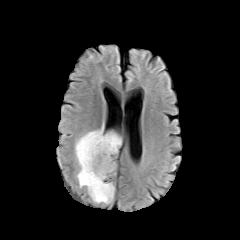
FLAIR MR.
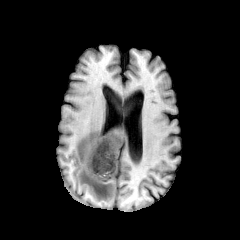
T1-weighted MRI.
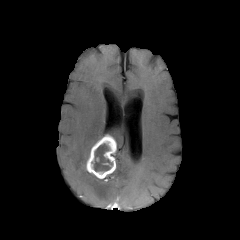
Post-contrast T1-weighted MR.
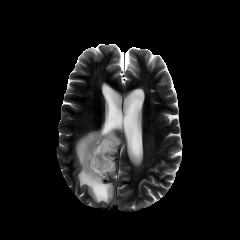
T2-weighted MR image.
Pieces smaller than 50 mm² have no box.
enhancing tumor: <box>86,134,116,178</box>
necrotic tumor core: <box>90,141,113,174</box>
peritumoral edema: <box>74,123,121,204</box>